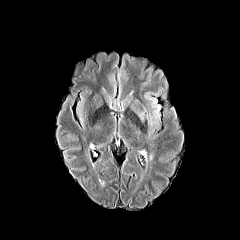
FLAIR MR image.
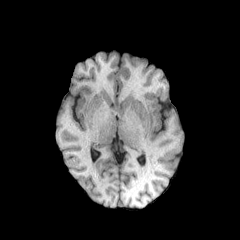
T1-weighted magnetic resonance of the same slice.
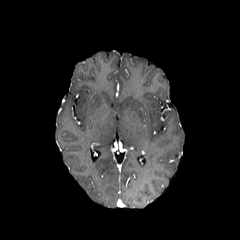
Post-contrast T1-weighted MR image of the same slice.
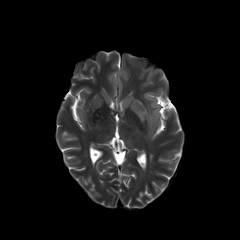
T2-weighted MR image.
Head, Axial slice
The peritumoral edema is located at 138 112 144 122.